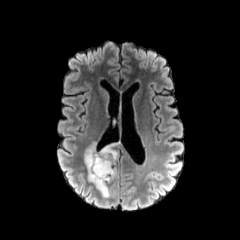
FLAIR MR image.
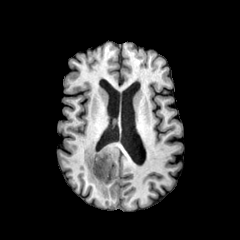
Same slice, T1-weighted MRI.
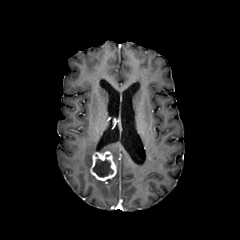
Post-contrast T1-weighted MRI.
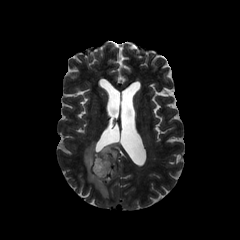
T2-weighted MRI.
Head | Axial view
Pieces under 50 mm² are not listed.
The 2 largest peritumoral edema regions are located at <box>99,143,117,163</box>, <box>84,142,109,197</box>. The enhancing tumor is at <box>90,151,116,182</box>. The largest necrotic tumor core region is at <box>93,159,113,177</box>.